FLAIR MR image.
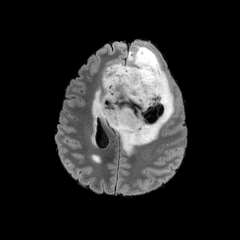
T1-weighted magnetic resonance.
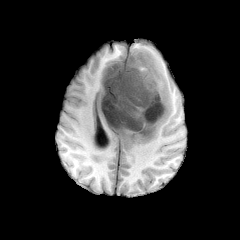
Post-contrast T1-weighted MR image.
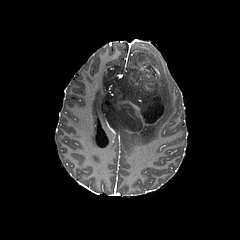
T2-weighted magnetic resonance.
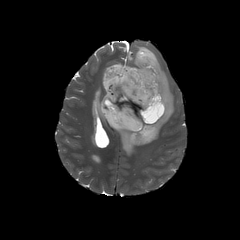
Head.
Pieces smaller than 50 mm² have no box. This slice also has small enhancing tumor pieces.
necrotic tumor core: 100,50,166,134 | peritumoral edema: 114,45,174,153; 92,89,105,123